Slice index 51; Image covers 240 mm x 240 mm
FLAIR MR image.
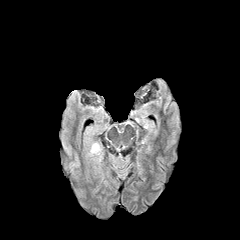
T1-weighted MR.
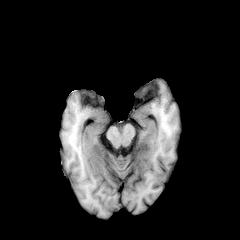
Post-contrast T1-weighted MRI.
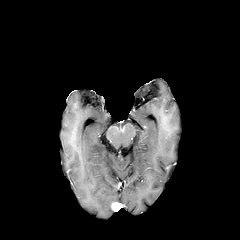
T2-weighted MRI.
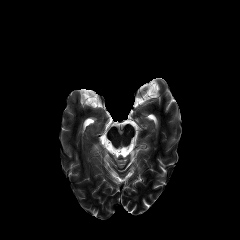
peritumoral edema — (91, 143, 101, 153)